FLAIR MRI.
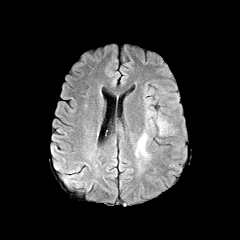
T1-weighted MR.
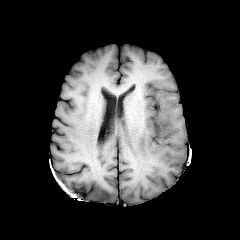
Post-contrast T1-weighted MRI.
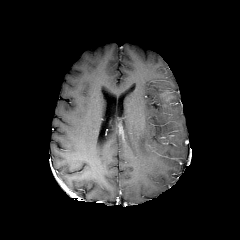
T2-weighted MR image.
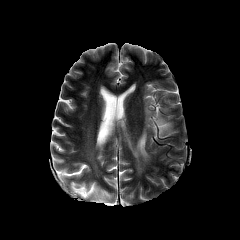
Brain
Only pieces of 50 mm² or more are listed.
peritumoral edema: rect(135, 131, 148, 158); rect(156, 117, 170, 135)